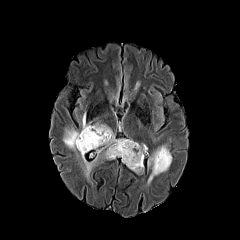
FLAIR MR.
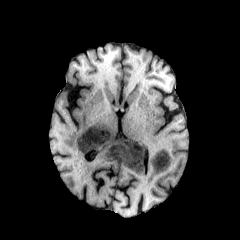
T1-weighted MR image.
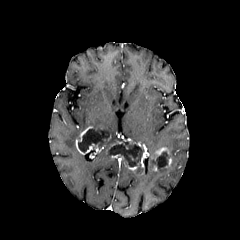
Post-contrast T1-weighted MR image of the same slice.
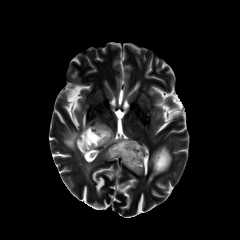
T2-weighted MR of the same slice.
Brain
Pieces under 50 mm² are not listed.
- necrotic tumor core: 153, 151, 169, 170; 78, 127, 109, 152; 107, 141, 143, 168
- enhancing tumor: 123, 139, 147, 166; 152, 147, 169, 160; 111, 154, 138, 170; 75, 126, 101, 154
- peritumoral edema: 100, 152, 110, 159; 93, 122, 122, 146; 81, 154, 92, 176; 147, 168, 168, 184; 82, 113, 90, 131; 63, 128, 79, 151; 134, 167, 142, 175